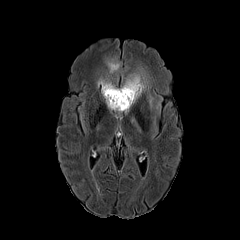
FLAIR MR.
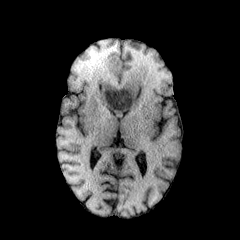
Same slice, T1-weighted magnetic resonance.
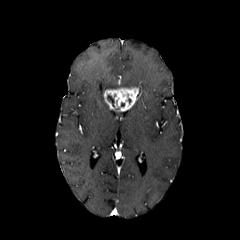
Post-contrast T1-weighted magnetic resonance.
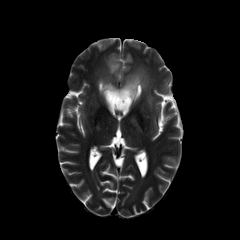
T2-weighted MRI.
Axial view
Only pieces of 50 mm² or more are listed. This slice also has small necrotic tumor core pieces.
The 3 largest peritumoral edema regions are located at [x1=121, y1=69, x2=149, y2=92], [x1=97, y1=78, x2=117, y2=94], [x1=106, y1=58, x2=120, y2=73]. The enhancing tumor is bounded by [x1=103, y1=87, x2=140, y2=111].